Image covers 240 mm x 240 mm. 240x240 px. Brain. Axial view.
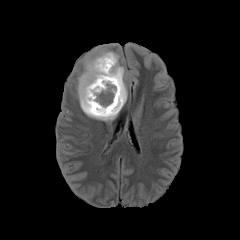
FLAIR MRI.
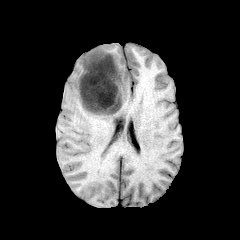
T1-weighted magnetic resonance.
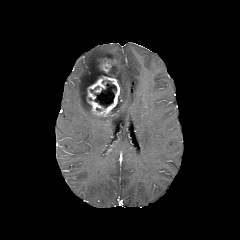
Post-contrast T1-weighted MR image of the same slice.
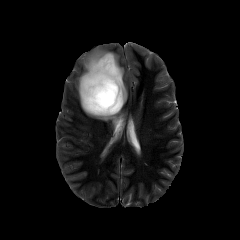
Same slice, T2-weighted magnetic resonance.
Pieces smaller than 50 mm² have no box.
necrotic tumor core: bbox(94, 81, 116, 107); bbox(111, 95, 121, 113)
peritumoral edema: bbox(77, 47, 127, 121)
enhancing tumor: bbox(87, 76, 120, 116); bbox(100, 58, 115, 73)